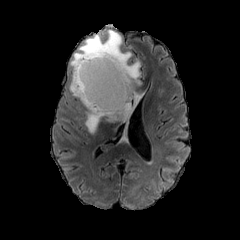
FLAIR MR image.
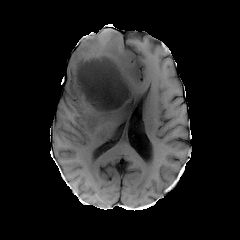
Same slice, T1-weighted magnetic resonance.
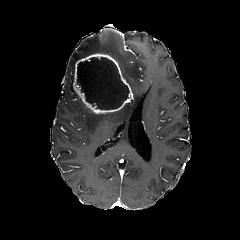
Same slice, post-contrast T1-weighted MR.
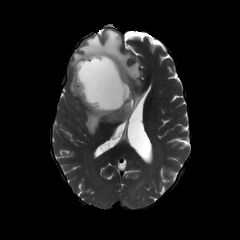
T2-weighted MR image.
Head, Axial slice, 240x240
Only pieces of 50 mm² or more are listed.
peritumoral edema = [x1=69, y1=29, x2=142, y2=132]
enhancing tumor = [x1=73, y1=53, x2=133, y2=114]
necrotic tumor core = [x1=77, y1=57, x2=129, y2=109]